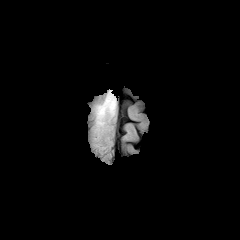
FLAIR magnetic resonance.
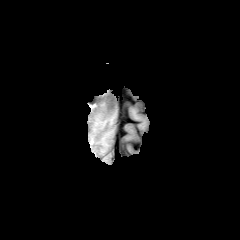
T1-weighted MRI of the same slice.
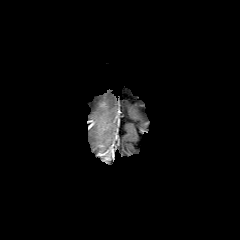
Post-contrast T1-weighted magnetic resonance.
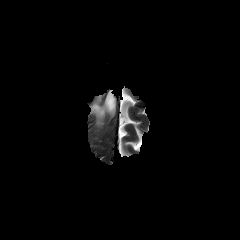
T2-weighted MR image of the same slice.
240x240, Brain
peritumoral_edema:
  - [94,91,116,124]